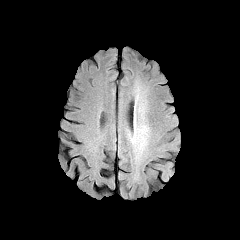
FLAIR MR image.
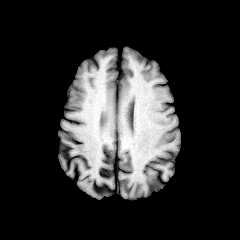
T1-weighted magnetic resonance.
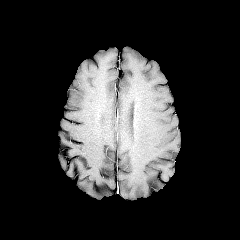
Post-contrast T1-weighted magnetic resonance.
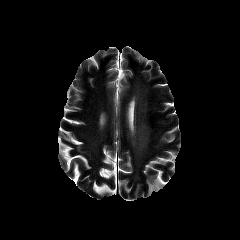
Same slice, T2-weighted MR.
peritumoral edema = box=[139, 126, 146, 146]